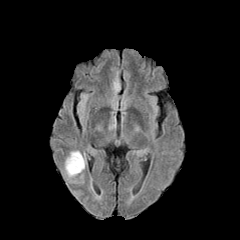
FLAIR MRI.
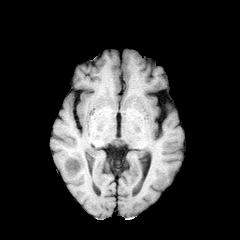
T1-weighted magnetic resonance.
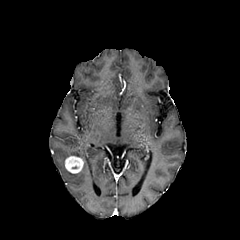
Post-contrast T1-weighted magnetic resonance.
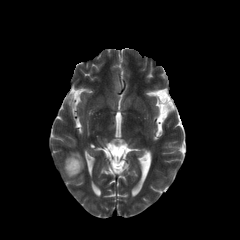
T2-weighted MR image.
Axial slice, Head
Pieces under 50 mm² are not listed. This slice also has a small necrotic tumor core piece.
peritumoral edema at 65 150 82 159, 62 161 84 182
enhancing tumor at 65 156 83 173